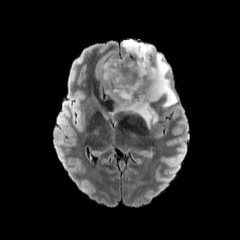
FLAIR MR.
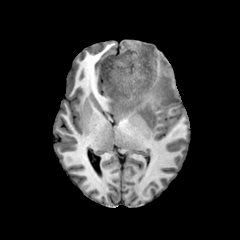
T1-weighted MR.
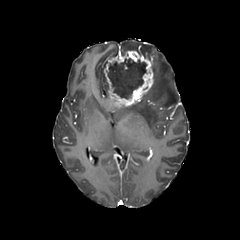
Post-contrast T1-weighted MR.
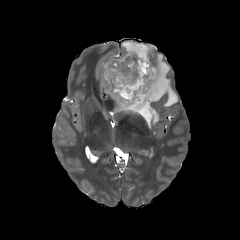
T2-weighted MRI of the same slice.
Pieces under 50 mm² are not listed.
The necrotic tumor core is at box(108, 58, 146, 98). 3 peritumoral edema regions are bounded by box(102, 62, 107, 92); box(121, 40, 154, 57); box(113, 53, 177, 128). The largest enhancing tumor region is bounded by box(103, 50, 154, 110).